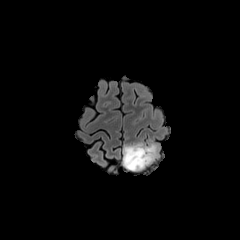
FLAIR magnetic resonance.
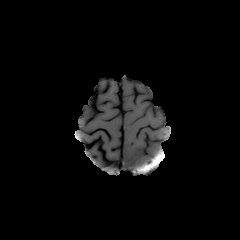
T1-weighted MRI of the same slice.
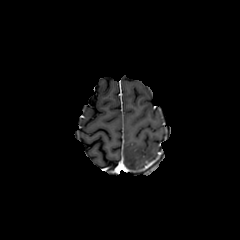
Post-contrast T1-weighted MRI.
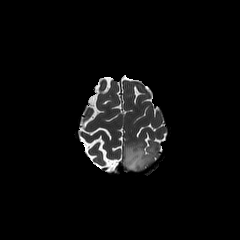
Same slice, T2-weighted magnetic resonance.
Axial plane
peritumoral edema: bounding box {"x1": 123, "y1": 142, "x2": 157, "y2": 171}